240x240 px
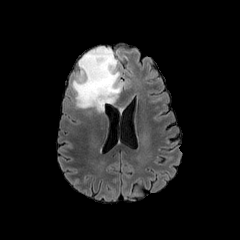
FLAIR MRI.
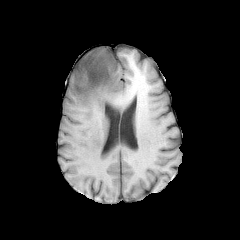
Same slice, T1-weighted MRI.
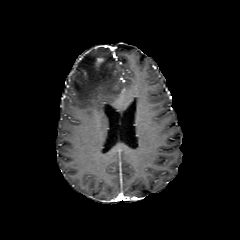
Post-contrast T1-weighted MR.
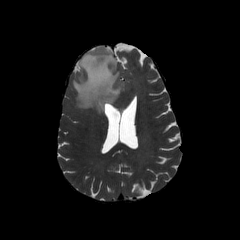
T2-weighted MR.
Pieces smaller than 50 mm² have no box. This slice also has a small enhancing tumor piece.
peritumoral edema: 71,47,123,112